240x240, Slice index 72, Head
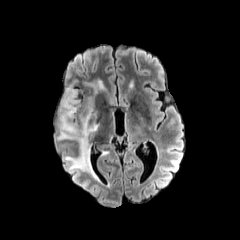
FLAIR MR image.
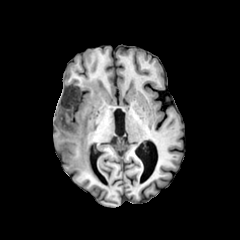
T1-weighted MR image of the same slice.
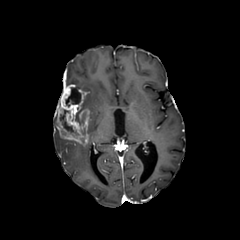
Post-contrast T1-weighted MR of the same slice.
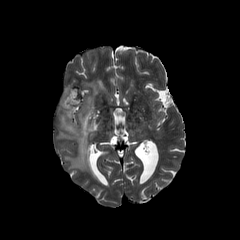
Same slice, T2-weighted MR image.
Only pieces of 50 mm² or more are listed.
The enhancing tumor is at bbox=[56, 84, 89, 145]. The 4 largest peritumoral edema regions appear at bbox=[87, 97, 92, 118]; bbox=[87, 115, 98, 134]; bbox=[65, 144, 97, 179]; bbox=[83, 80, 105, 94]. The 2 largest necrotic tumor core regions are bounded by bbox=[60, 110, 78, 135]; bbox=[66, 87, 81, 106].